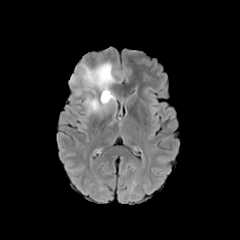
FLAIR magnetic resonance.
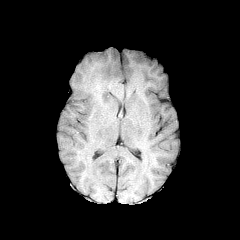
Same slice, T1-weighted MR.
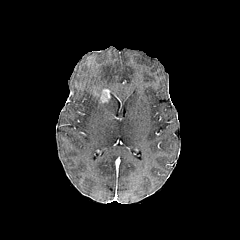
Post-contrast T1-weighted MR image.
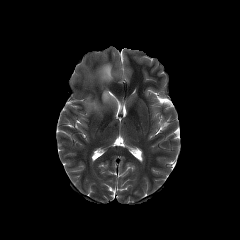
T2-weighted MRI of the same slice.
Axial plane
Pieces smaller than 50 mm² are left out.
enhancing tumor: 101 89 110 102 | peritumoral edema: 85 63 113 91, 88 99 99 110